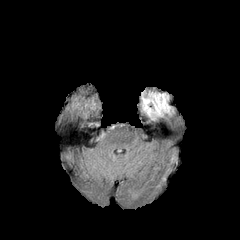
FLAIR MRI.
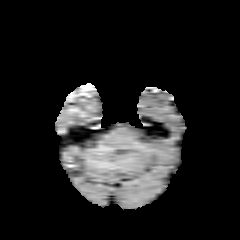
T1-weighted magnetic resonance.
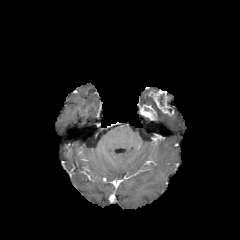
Post-contrast T1-weighted MR of the same slice.
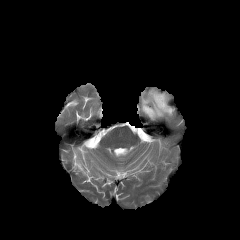
Same slice, T2-weighted MRI.
Axial slice
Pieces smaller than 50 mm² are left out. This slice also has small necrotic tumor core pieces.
peritumoral edema — rect(141, 92, 165, 117)
enhancing tumor — rect(140, 104, 156, 120); rect(148, 91, 173, 115)